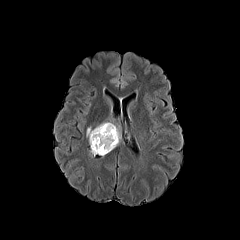
FLAIR MR image.
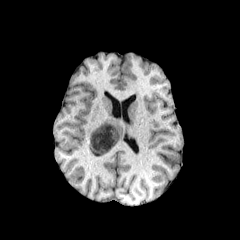
Same slice, T1-weighted MRI.
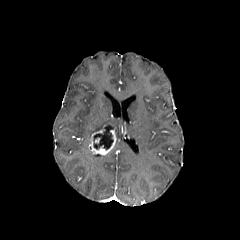
Same slice, post-contrast T1-weighted MR.
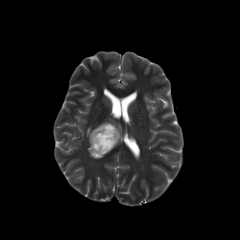
T2-weighted MR image of the same slice.
Brain | Axial view
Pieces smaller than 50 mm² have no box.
{"enhancing_tumor": ["bbox(89, 125, 117, 155)"], "necrotic_tumor_core": ["bbox(93, 126, 113, 149)"], "peritumoral_edema": ["bbox(86, 122, 121, 146)"]}